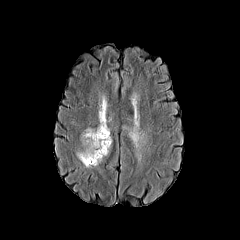
FLAIR MR.
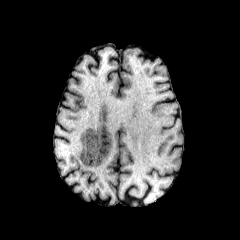
T1-weighted MRI.
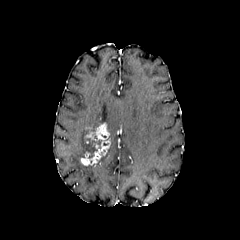
Post-contrast T1-weighted MRI.
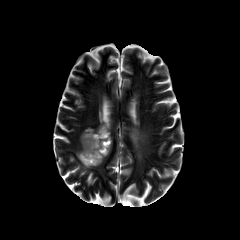
T2-weighted magnetic resonance.
Axial view
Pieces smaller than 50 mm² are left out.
necrotic tumor core: (87,138,101,158)
peritumoral edema: (122,124,139,147), (80,126,95,145), (76,146,90,158), (99,94,107,125)
enhancing tumor: (80,123,110,165)